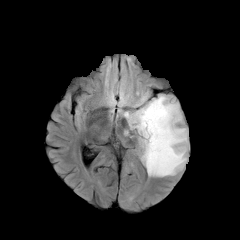
FLAIR MRI.
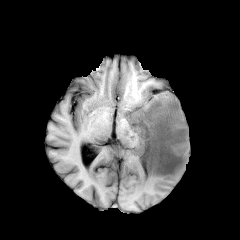
T1-weighted MRI of the same slice.
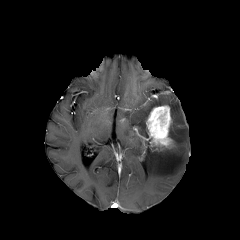
Same slice, post-contrast T1-weighted MR.
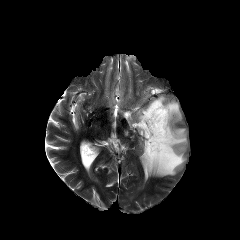
T2-weighted MR.
Axial slice
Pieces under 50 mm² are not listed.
enhancing tumor: (146,105,174,150) | peritumoral edema: (135,93,148,106), (123,95,188,177)